Image covers 240 mm x 240 mm.
FLAIR magnetic resonance.
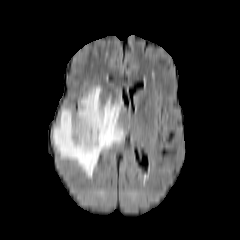
T1-weighted MR image.
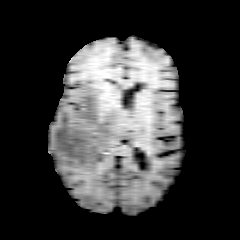
Post-contrast T1-weighted MR image.
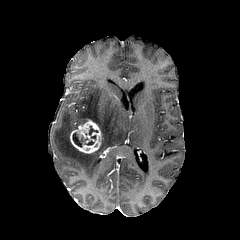
T2-weighted MR image.
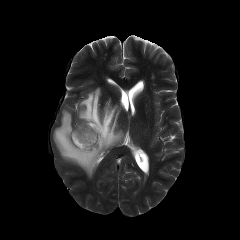
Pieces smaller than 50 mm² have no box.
peritumoral edema: (left=53, top=86, right=124, bottom=177) | necrotic tumor core: (left=72, top=133, right=87, bottom=146) | enhancing tumor: (left=70, top=119, right=102, bottom=153)